Slice 112 of 155, 240x240, Head
FLAIR MR.
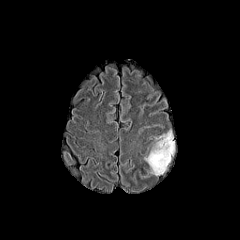
T1-weighted MRI.
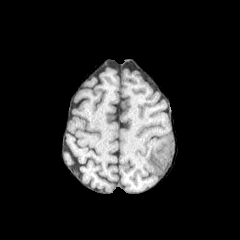
Post-contrast T1-weighted MR.
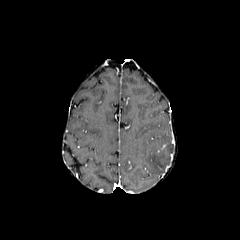
T2-weighted MR.
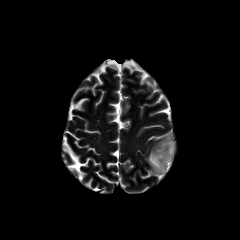
The peritumoral edema lies within [x1=145, y1=132, x2=174, y2=175].